FLAIR MR image.
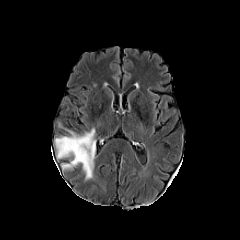
T1-weighted MRI.
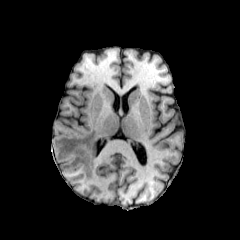
Post-contrast T1-weighted magnetic resonance.
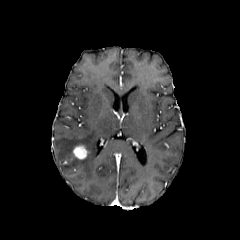
T2-weighted MR image.
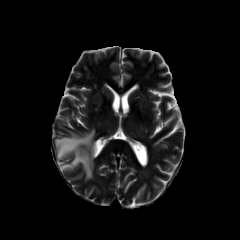
Brain
enhancing tumor at {"x1": 73, "y1": 145, "x2": 88, "y2": 159}
peritumoral edema at {"x1": 55, "y1": 128, "x2": 96, "y2": 180}